FLAIR MR.
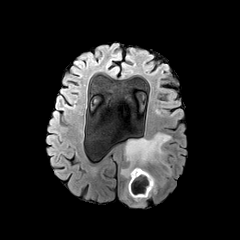
T1-weighted MR.
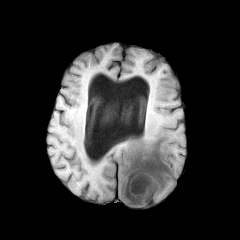
Post-contrast T1-weighted magnetic resonance.
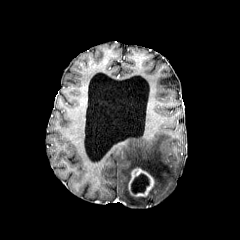
T2-weighted MR.
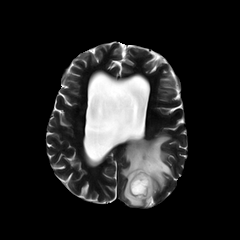
Axial plane
Findings:
* enhancing tumor: x1=128, y1=168, x2=154, y2=197
* necrotic tumor core: x1=131, y1=174, x2=149, y2=194
* peritumoral edema: x1=121, y1=134, x2=171, y2=206